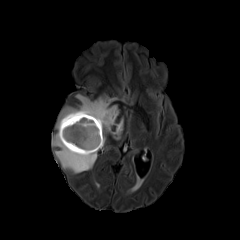
FLAIR magnetic resonance.
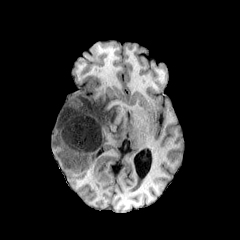
Same slice, T1-weighted MRI.
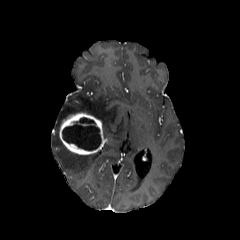
Same slice, post-contrast T1-weighted MR image.
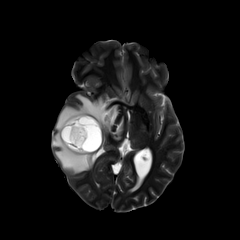
Same slice, T2-weighted MR.
Brain
The necrotic tumor core is bounded by <bbox>62, 117, 101, 150</bbox>. The peritumoral edema is bounded by <bbox>52, 94, 123, 173</bbox>. The enhancing tumor lies within <bbox>59, 112, 105, 154</bbox>.